FLAIR MR image.
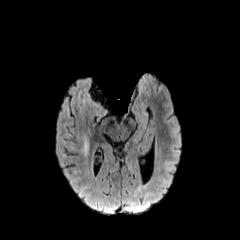
T1-weighted MRI.
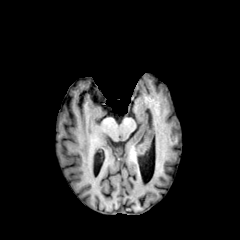
Post-contrast T1-weighted magnetic resonance.
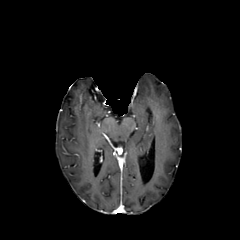
T2-weighted MRI.
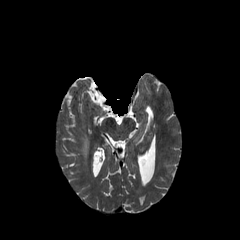
Head, Axial view
{
  "peritumoral_edema": [
    {"x1": 81, "y1": 138, "x2": 88, "y2": 156}
  ]
}